FLAIR MR.
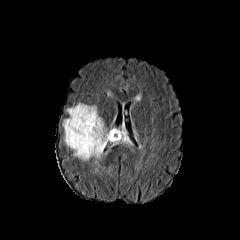
T1-weighted MR image.
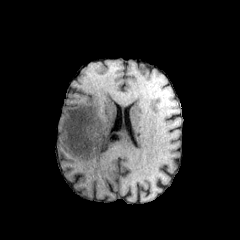
Post-contrast T1-weighted MRI.
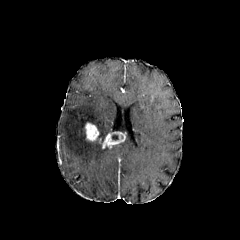
T2-weighted MRI.
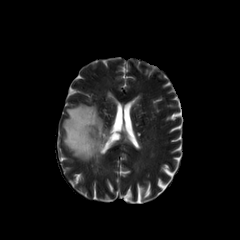
Image size 240x240. Axial plane.
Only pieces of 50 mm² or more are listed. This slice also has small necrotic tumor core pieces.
enhancing tumor — 102:131:126:148, 85:122:99:141
peritumoral edema — 62:103:110:166, 121:126:134:145